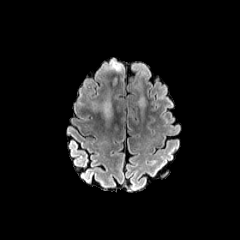
FLAIR MRI.
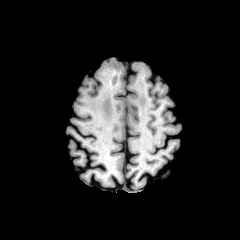
Same slice, T1-weighted MR image.
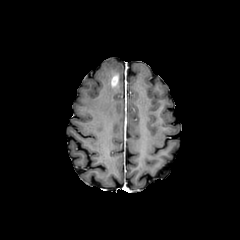
Post-contrast T1-weighted magnetic resonance.
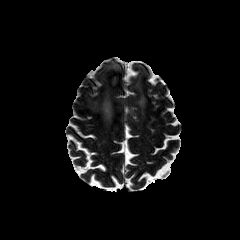
Same slice, T2-weighted magnetic resonance.
Head, Axial slice
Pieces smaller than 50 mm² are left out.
The enhancing tumor is bounded by (112,75,117,85). The 3 largest peritumoral edema regions are bounded by (105,59,122,72), (139,96,144,106), (101,99,111,119).